Image width 240 mm, 1.00 mm slice spacing | Axial slice | Image size 240x240 | Slice index 137
FLAIR magnetic resonance.
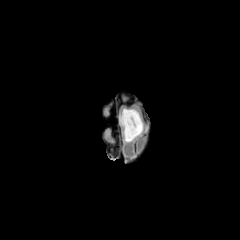
T1-weighted MRI.
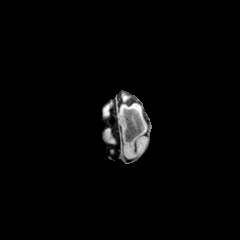
Post-contrast T1-weighted MR.
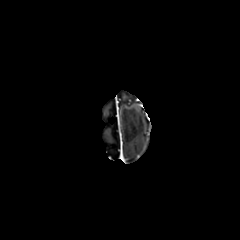
T2-weighted MRI.
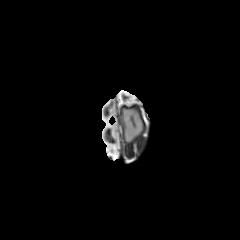
The peritumoral edema lies within 119 108 144 142.